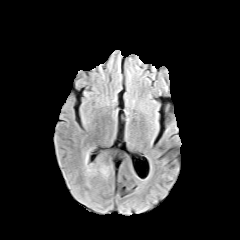
FLAIR MR.
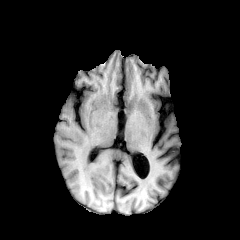
Same slice, T1-weighted magnetic resonance.
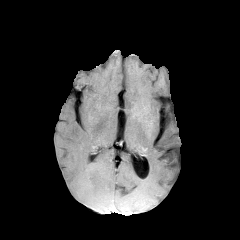
Same slice, post-contrast T1-weighted magnetic resonance.
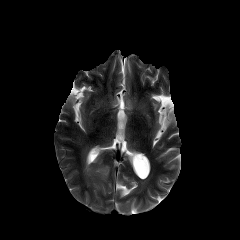
T2-weighted MR image.
Brain. 240x240 px.
{
  "peritumoral_edema": [
    "85:152:95:174",
    "99:166:108:176"
  ]
}